Slice 70/155. Axial slice.
FLAIR magnetic resonance.
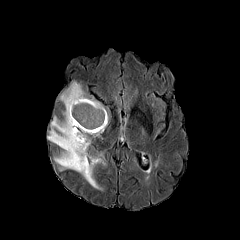
T1-weighted magnetic resonance.
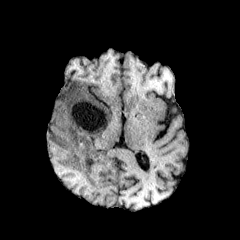
Post-contrast T1-weighted MR.
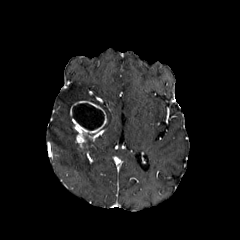
T2-weighted MRI.
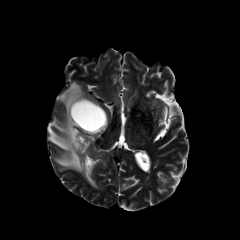
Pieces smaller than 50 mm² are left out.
enhancing tumor = rect(70, 101, 107, 149)
peritumoral edema = rect(47, 81, 105, 189)
necrotic tumor core = rect(72, 103, 104, 130)